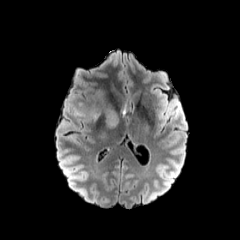
FLAIR MRI.
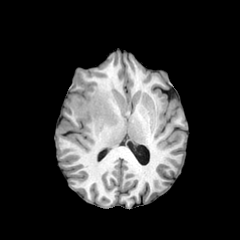
T1-weighted MR image of the same slice.
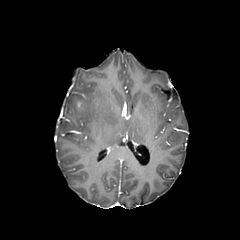
Same slice, post-contrast T1-weighted MR image.
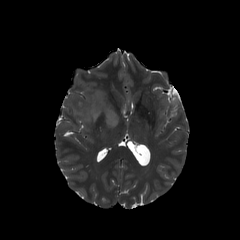
Same slice, T2-weighted MRI.
Head
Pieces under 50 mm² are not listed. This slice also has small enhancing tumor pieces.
{
  "peritumoral_edema": [
    "box=[75, 87, 118, 129]"
  ]
}